FLAIR MRI.
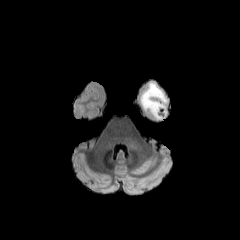
T1-weighted MR image.
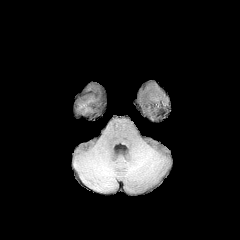
Post-contrast T1-weighted MRI.
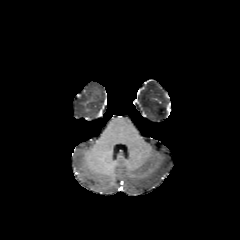
T2-weighted MR.
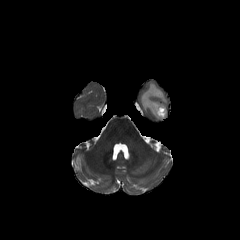
- peritumoral edema: (140,82,169,121)